FLAIR magnetic resonance.
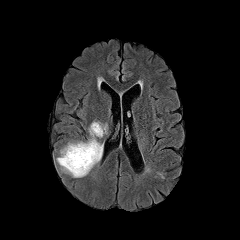
T1-weighted MRI.
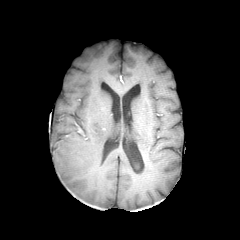
Post-contrast T1-weighted magnetic resonance.
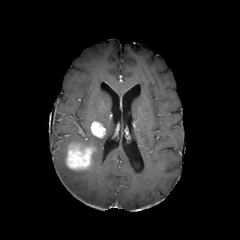
T2-weighted MRI.
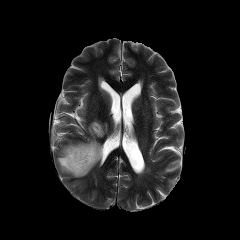
Axial plane. Brain.
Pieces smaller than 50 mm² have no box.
<segmentation>
  <enhancing_tumor>box=[91, 121, 105, 137]; box=[65, 143, 95, 170]</enhancing_tumor>
  <peritumoral_edema>box=[56, 125, 103, 177]</peritumoral_edema>
</segmentation>